240x240 px | Axial slice | Image width 240 mm, 1.00 mm slice spacing
FLAIR MRI.
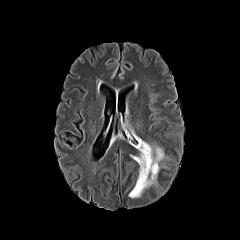
T1-weighted magnetic resonance.
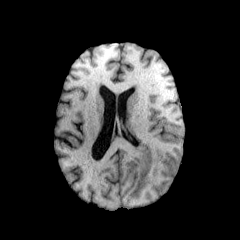
Post-contrast T1-weighted MR.
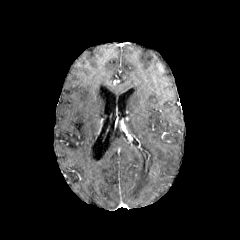
T2-weighted MR.
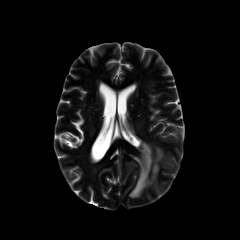
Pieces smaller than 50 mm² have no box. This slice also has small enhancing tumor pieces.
peritumoral_edema:
  - bbox=[128, 138, 164, 198]